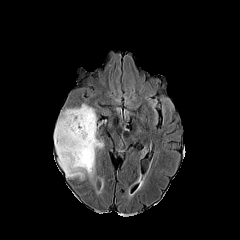
FLAIR magnetic resonance.
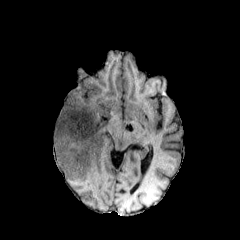
Same slice, T1-weighted magnetic resonance.
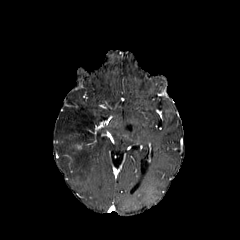
Post-contrast T1-weighted magnetic resonance of the same slice.
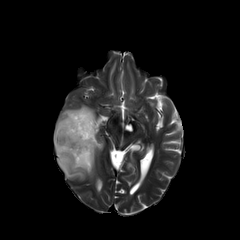
T2-weighted magnetic resonance.
Axial view
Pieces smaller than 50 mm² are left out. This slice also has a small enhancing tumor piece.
peritumoral edema: bounding box <bbox>54, 104, 103, 179</bbox>